240x240 px. Head. Axial plane.
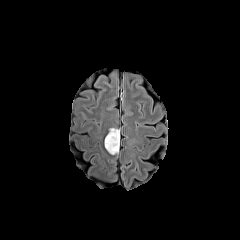
FLAIR MRI.
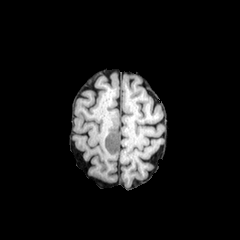
T1-weighted MR.
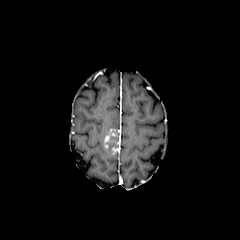
Post-contrast T1-weighted MR image.
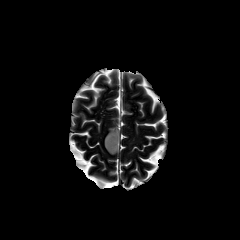
Same slice, T2-weighted MR image.
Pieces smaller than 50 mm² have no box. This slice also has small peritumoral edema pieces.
The necrotic tumor core lies within [x1=106, y1=130, x2=119, y2=152]. 2 enhancing tumor regions are located at [x1=104, y1=129, x2=116, y2=148], [x1=112, y1=129, x2=120, y2=154].